FLAIR MR.
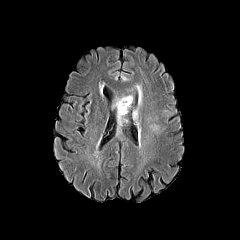
T1-weighted magnetic resonance.
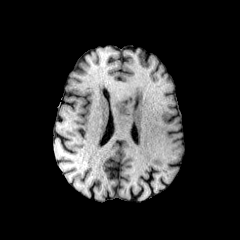
Post-contrast T1-weighted MR.
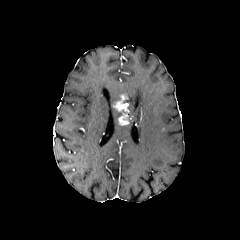
T2-weighted magnetic resonance.
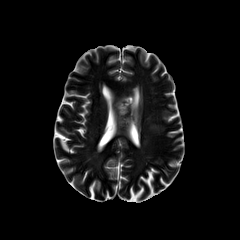
Head
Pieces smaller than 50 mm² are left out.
The 4 largest peritumoral edema regions are bounded by box(137, 86, 141, 105); box(132, 109, 138, 120); box(151, 124, 161, 133); box(123, 95, 133, 108). The largest enhancing tumor region lies within box(113, 95, 129, 125).